FLAIR MR.
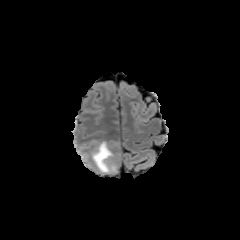
T1-weighted MRI.
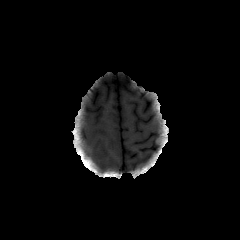
Post-contrast T1-weighted MR.
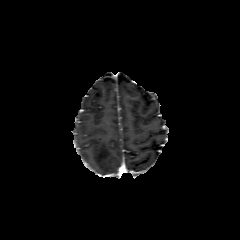
T2-weighted MRI.
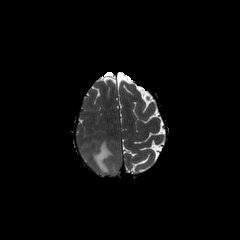
Axial plane
<segmentation>
  <peritumoral_edema>x1=90, y1=140, x2=116, y2=174</peritumoral_edema>
</segmentation>